Slice 77/155 | Axial view | Head
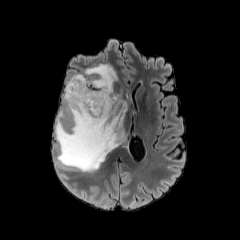
FLAIR MR image.
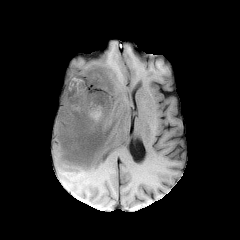
T1-weighted magnetic resonance.
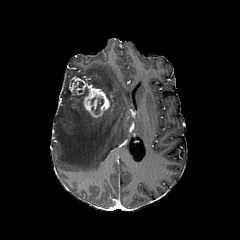
Post-contrast T1-weighted MRI.
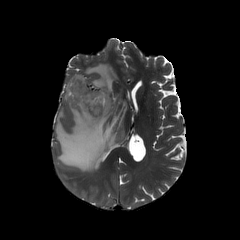
Same slice, T2-weighted MRI.
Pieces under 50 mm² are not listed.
peritumoral edema: left=55, top=64, right=127, bottom=171
enhancing tumor: left=69, top=76, right=110, bottom=117
necrotic tumor core: left=94, top=98, right=103, bottom=114